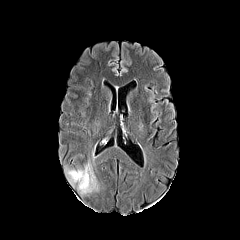
FLAIR MR image.
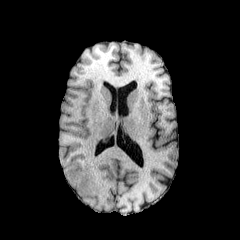
T1-weighted magnetic resonance.
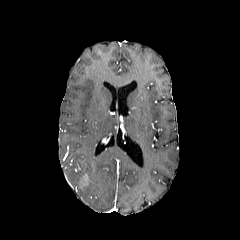
Post-contrast T1-weighted MR image.
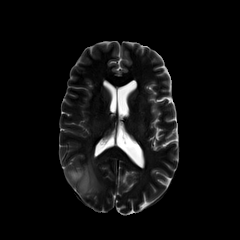
T2-weighted MR image.
Axial plane. Image size 240x240.
peritumoral edema: {"x1": 66, "y1": 162, "x2": 98, "y2": 194}
enhancing tumor: {"x1": 80, "y1": 174, "x2": 88, "y2": 187}